Axial slice | Image covers 240 mm x 240 mm
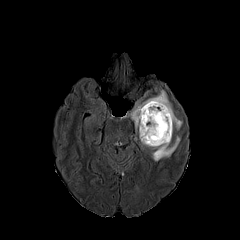
FLAIR MRI.
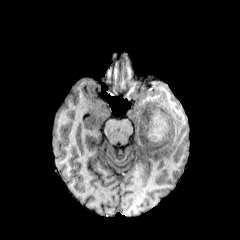
T1-weighted MRI of the same slice.
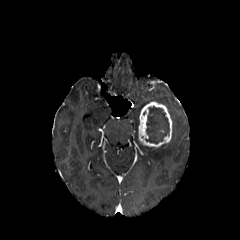
Post-contrast T1-weighted MR image of the same slice.
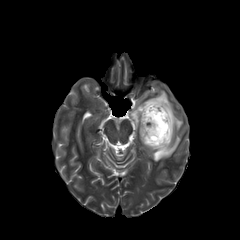
T2-weighted MRI of the same slice.
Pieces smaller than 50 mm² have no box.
The largest necrotic tumor core region is at x1=145 y1=106 x2=169 y2=143. The peritumoral edema lies within x1=130 y1=81 x2=183 y2=161. The largest enhancing tumor region appears at x1=138 y1=101 x2=172 y2=147.